FLAIR MR.
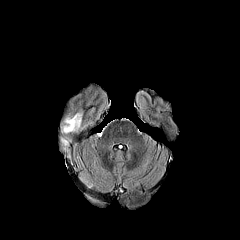
T1-weighted magnetic resonance.
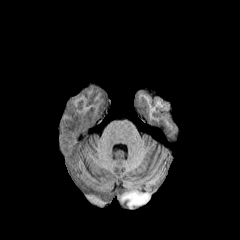
Post-contrast T1-weighted MR.
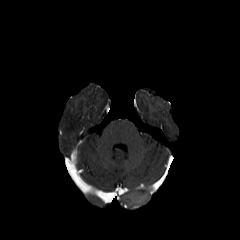
T2-weighted MR image.
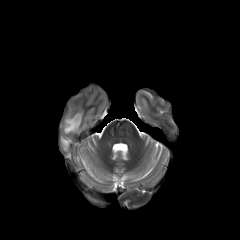
240x240 px; Brain
peritumoral edema: bounding box 63 112 82 133, 61 138 70 149